FLAIR MRI.
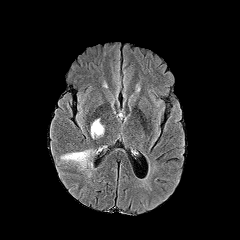
T1-weighted MR image.
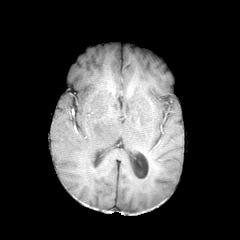
Post-contrast T1-weighted MRI.
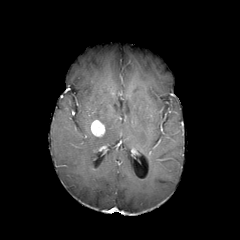
T2-weighted MRI.
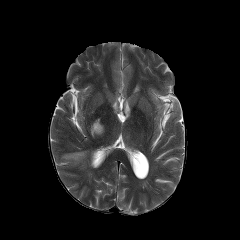
Head | Axial slice
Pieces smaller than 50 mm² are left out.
enhancing tumor at (left=91, top=120, right=104, bottom=136)
peritumoral edema at (left=61, top=150, right=94, bottom=169)